Brain. Slice index 99.
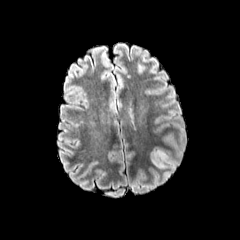
FLAIR MR.
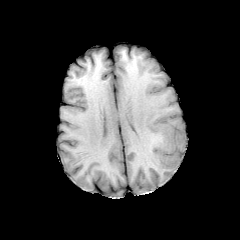
T1-weighted MR image of the same slice.
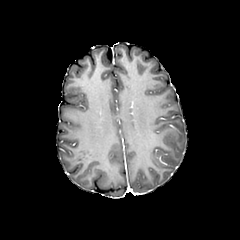
Same slice, post-contrast T1-weighted MR image.
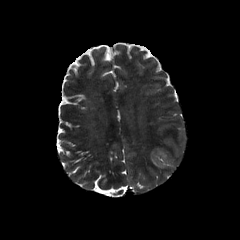
Same slice, T2-weighted MR.
peritumoral_edema:
  - <box>151,149,177,168</box>